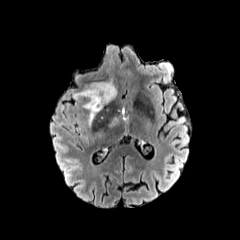
FLAIR MR image.
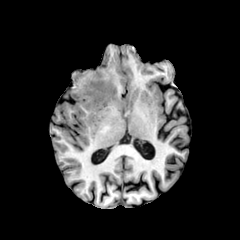
T1-weighted MR.
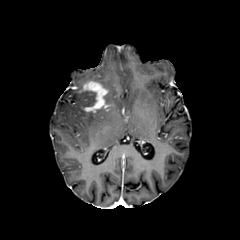
Same slice, post-contrast T1-weighted MR.
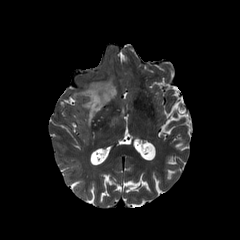
T2-weighted MR.
Image size 240x240
Segmented structures:
- enhancing tumor: l=80, t=81, r=108, b=112
- peritumoral edema: l=73, t=91, r=95, b=107; l=88, t=109, r=100, b=125; l=100, t=81, r=116, b=103; l=108, t=116, r=118, b=127